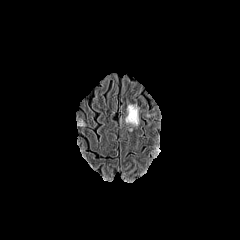
FLAIR MR.
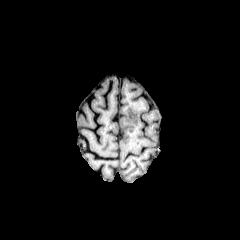
T1-weighted magnetic resonance.
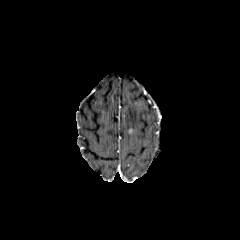
Post-contrast T1-weighted MR image of the same slice.
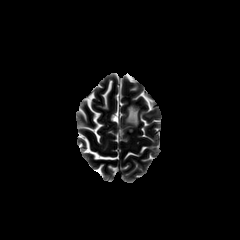
T2-weighted MRI of the same slice.
Axial slice | Head
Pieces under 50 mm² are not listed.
The largest peritumoral edema region is bounded by x1=125, y1=105, x2=138, y2=126.